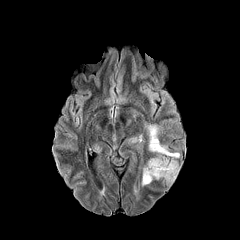
FLAIR magnetic resonance.
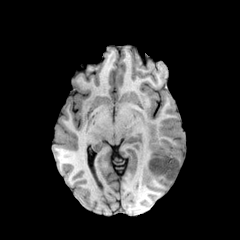
T1-weighted magnetic resonance.
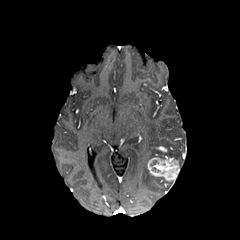
Post-contrast T1-weighted MR.
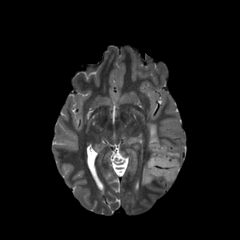
T2-weighted MR image.
Head; Image size 240x240; Axial plane
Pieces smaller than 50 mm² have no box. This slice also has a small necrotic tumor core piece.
Segmented structures:
- enhancing tumor: left=147, top=156, right=179, bottom=182; left=156, top=146, right=167, bottom=152
- peritumoral edema: left=142, top=165, right=162, bottom=185; left=147, top=125, right=179, bottom=158